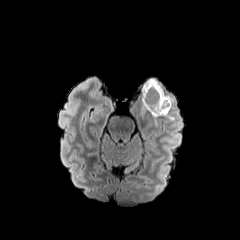
FLAIR MRI.
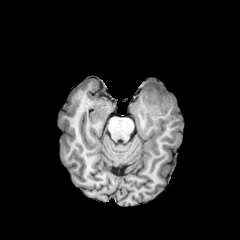
T1-weighted MR.
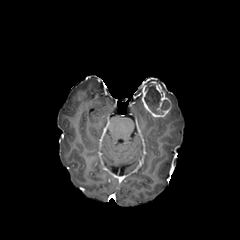
Post-contrast T1-weighted MR.
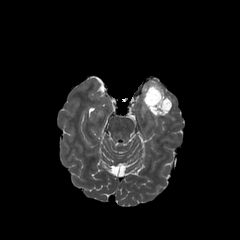
T2-weighted magnetic resonance.
Head
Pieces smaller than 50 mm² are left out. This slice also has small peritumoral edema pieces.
necrotic tumor core at 144,84,162,113; 161,100,169,109
enhancing tumor at 141,78,171,117